Slice 69 of 155, Image width 240 mm, 240x240
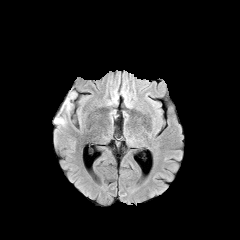
FLAIR MRI.
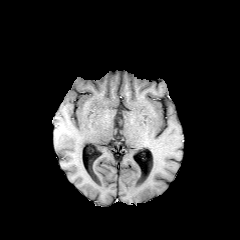
T1-weighted magnetic resonance.
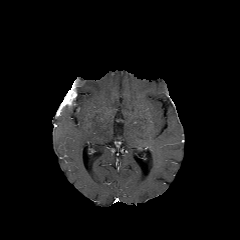
Post-contrast T1-weighted magnetic resonance.
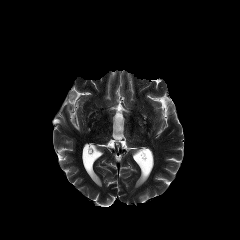
Same slice, T2-weighted magnetic resonance.
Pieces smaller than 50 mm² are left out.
The largest peritumoral edema region is bounded by 54 116 66 125. The enhancing tumor is located at 56 83 76 117.